Image size 240x240. Axial view.
FLAIR magnetic resonance.
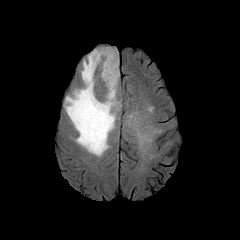
T1-weighted magnetic resonance.
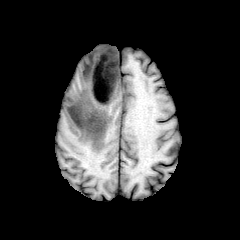
Post-contrast T1-weighted MRI.
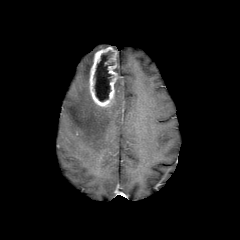
T2-weighted magnetic resonance.
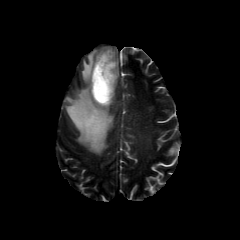
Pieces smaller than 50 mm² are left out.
The largest peritumoral edema region is bounded by <box>64,47,120,155</box>. The enhancing tumor lies within <box>89,47,118,107</box>. The necrotic tumor core lies within <box>94,51,114,101</box>.